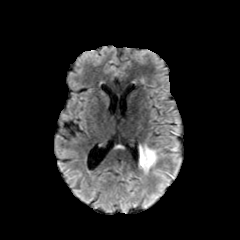
FLAIR magnetic resonance.
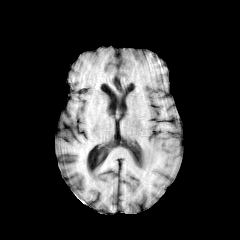
T1-weighted MR.
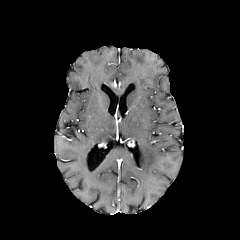
Post-contrast T1-weighted MR image of the same slice.
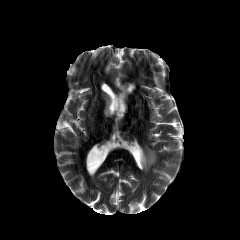
T2-weighted MRI.
240x240 px.
The peritumoral edema appears at rect(140, 145, 157, 172).